FLAIR MRI.
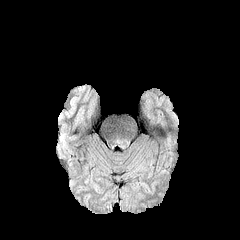
T1-weighted MR.
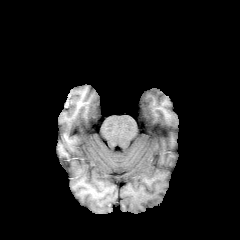
Post-contrast T1-weighted MR image.
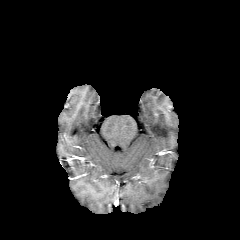
T2-weighted magnetic resonance.
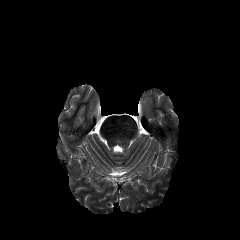
240x240 px
peritumoral edema at (left=117, top=138, right=129, bottom=147)